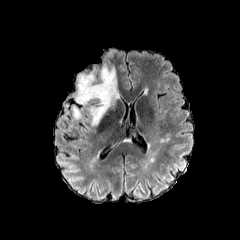
FLAIR MR image.
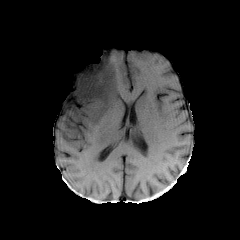
T1-weighted MR image of the same slice.
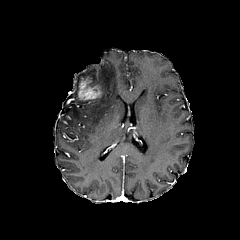
Same slice, post-contrast T1-weighted magnetic resonance.
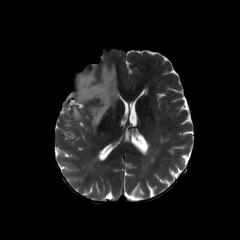
T2-weighted MR.
Head
The enhancing tumor lies within 77:77:103:101. 2 peritumoral edema regions are bounded by 76:64:119:127, 72:106:83:120.